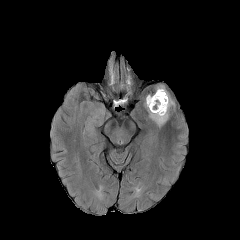
FLAIR MR image.
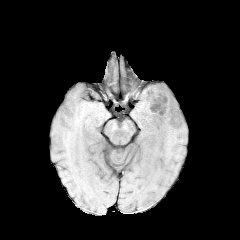
Same slice, T1-weighted MRI.
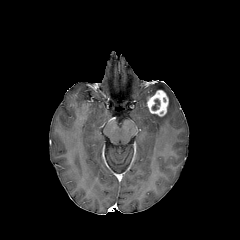
Post-contrast T1-weighted MR image of the same slice.
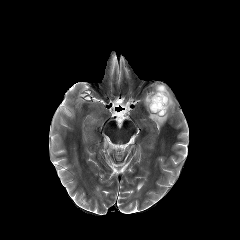
Same slice, T2-weighted MRI.
Brain
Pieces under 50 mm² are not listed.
peritumoral edema at 144,84,174,127
necrotic tumor core at 152,99,159,110
enhancing tumor at 147,90,168,116